Axial view. Slice 101/155. Brain.
FLAIR MR image.
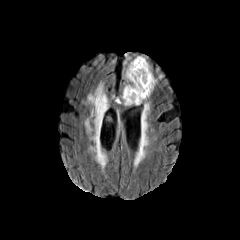
T1-weighted MR image.
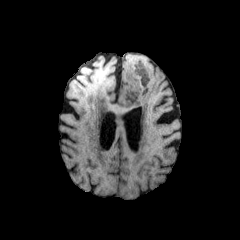
Post-contrast T1-weighted MRI.
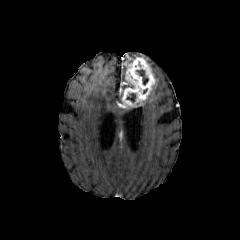
T2-weighted magnetic resonance.
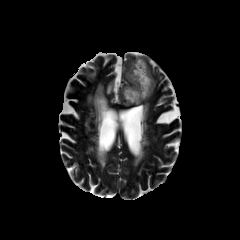
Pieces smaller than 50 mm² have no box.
enhancing tumor: bounding box 117:57:156:108
necrotic tumor core: bounding box 126:93:135:102, 137:70:148:84
peritumoral edema: bounding box 120:80:133:92, 122:55:147:72